Head.
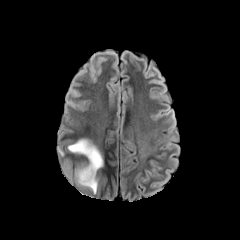
FLAIR MRI.
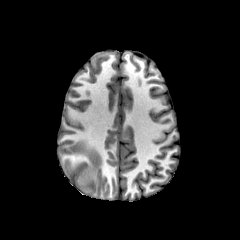
T1-weighted MRI.
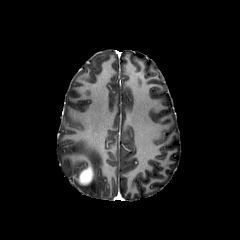
Post-contrast T1-weighted MR image of the same slice.
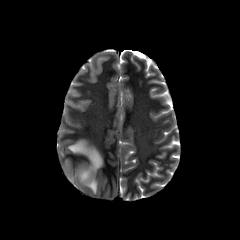
T2-weighted MRI.
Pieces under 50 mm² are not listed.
{"peritumoral_edema": ["(x1=68, y1=139, x2=103, y2=193)"], "enhancing_tumor": ["(x1=78, y1=165, x2=93, y2=184)"]}